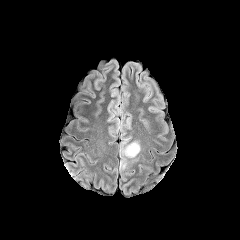
FLAIR magnetic resonance.
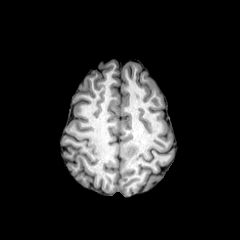
T1-weighted MR.
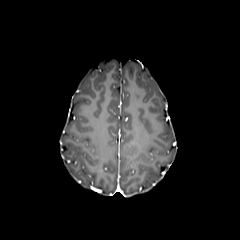
Post-contrast T1-weighted MRI.
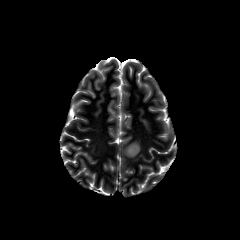
T2-weighted MR image.
Head
- peritumoral edema: {"x1": 120, "y1": 137, "x2": 141, "y2": 169}